Axial view | 240x240
FLAIR magnetic resonance.
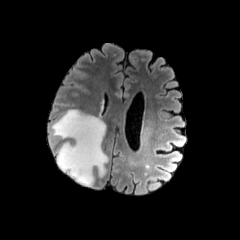
T1-weighted MR image.
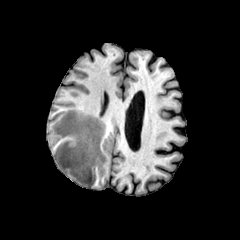
Post-contrast T1-weighted magnetic resonance.
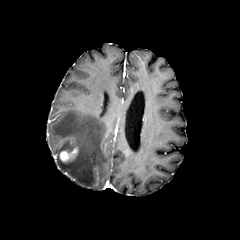
T2-weighted MR.
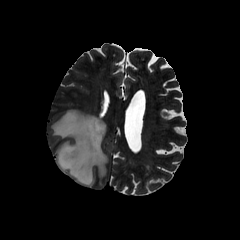
{"enhancing_tumor": ["[59, 147, 77, 162]"], "peritumoral_edema": ["[51, 109, 107, 185]"]}